Head. Slice 99 of 155. 240x240.
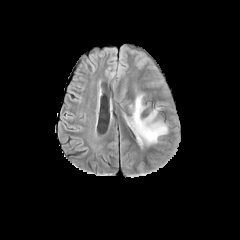
FLAIR MR.
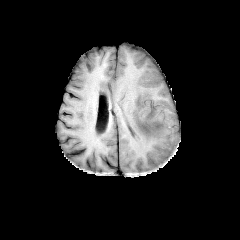
T1-weighted MR.
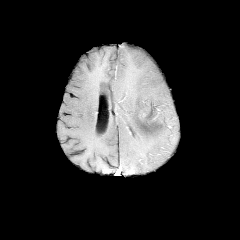
Same slice, post-contrast T1-weighted magnetic resonance.
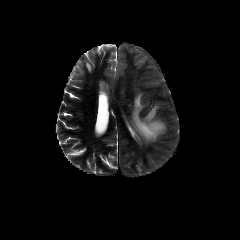
T2-weighted MR image.
peritumoral edema: bounding box bbox(127, 93, 167, 145)